FLAIR MR image.
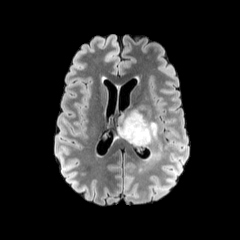
T1-weighted magnetic resonance.
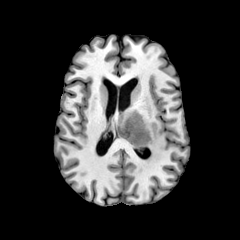
Post-contrast T1-weighted MRI.
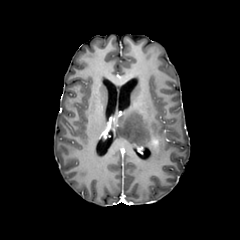
T2-weighted MR.
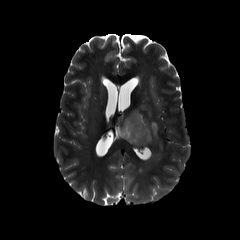
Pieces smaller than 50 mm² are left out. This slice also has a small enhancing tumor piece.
The peritumoral edema appears at [118, 110, 162, 161].